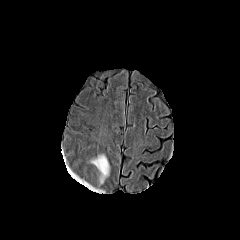
FLAIR MRI.
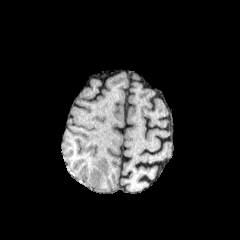
T1-weighted MR of the same slice.
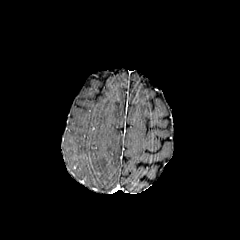
Post-contrast T1-weighted MR.
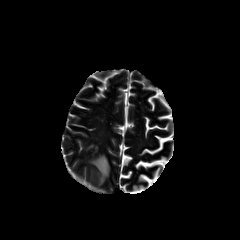
T2-weighted MRI.
Axial slice
The peritumoral edema appears at bbox=[90, 154, 109, 183].